FLAIR MR.
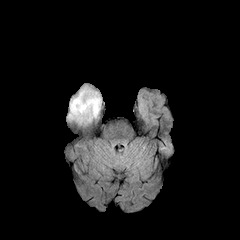
T1-weighted MR.
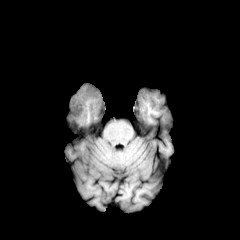
Post-contrast T1-weighted magnetic resonance.
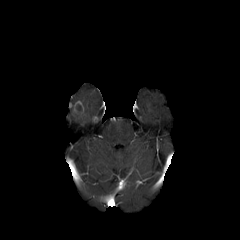
T2-weighted magnetic resonance.
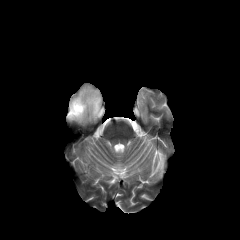
Head
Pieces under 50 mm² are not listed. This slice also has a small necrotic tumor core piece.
<segmentation>
  <peritumoral_edema>{"x1": 67, "y1": 85, "x2": 101, "y2": 123}</peritumoral_edema>
  <enhancing_tumor>{"x1": 69, "y1": 101, "x2": 84, "y2": 117}</enhancing_tumor>
</segmentation>